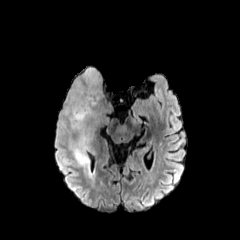
FLAIR MRI.
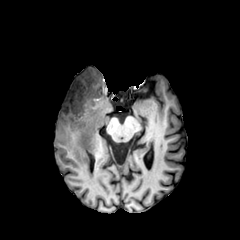
Same slice, T1-weighted MR image.
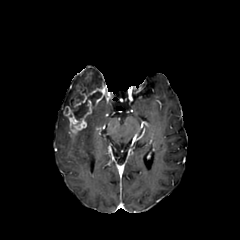
Post-contrast T1-weighted magnetic resonance.
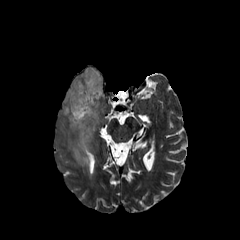
Same slice, T2-weighted magnetic resonance.
Brain
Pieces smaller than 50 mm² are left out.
The enhancing tumor is at box(63, 72, 104, 135). The largest necrotic tumor core region lies within box(73, 91, 101, 119). The largest peritumoral edema region is located at box(58, 67, 102, 167).